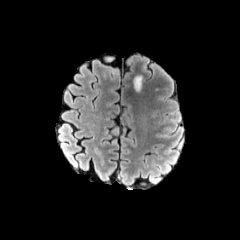
FLAIR MR.
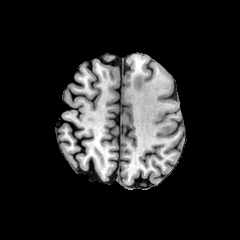
T1-weighted magnetic resonance.
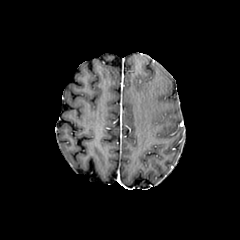
Post-contrast T1-weighted MR.
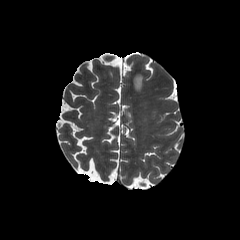
Same slice, T2-weighted magnetic resonance.
Brain | 240x240
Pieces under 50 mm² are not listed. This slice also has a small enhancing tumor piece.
peritumoral edema: bounding box {"x1": 133, "y1": 75, "x2": 142, "y2": 91}